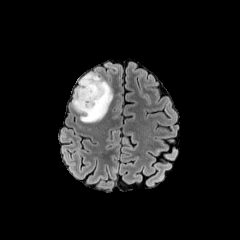
FLAIR magnetic resonance.
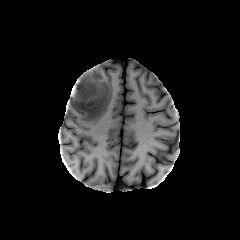
T1-weighted MRI.
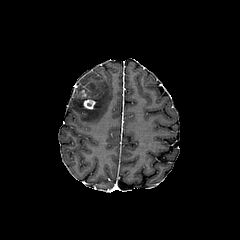
Post-contrast T1-weighted MR.
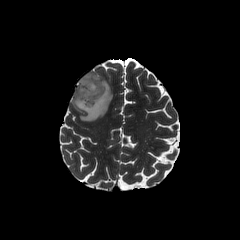
T2-weighted MRI.
Axial view, Head
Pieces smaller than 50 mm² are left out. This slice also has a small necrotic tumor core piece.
enhancing tumor: 80 89 95 109
peritumoral edema: 71 72 112 122